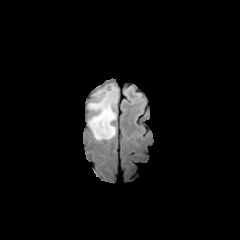
FLAIR MR.
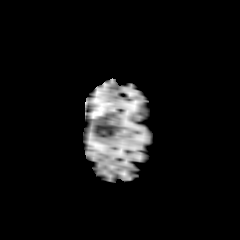
Same slice, T1-weighted MR image.
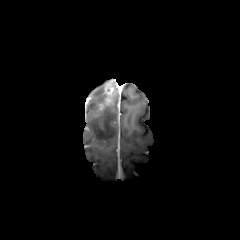
Post-contrast T1-weighted magnetic resonance.
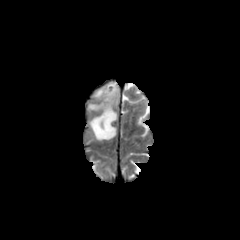
T2-weighted MR.
Brain. Axial view.
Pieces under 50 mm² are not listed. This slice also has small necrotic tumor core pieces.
enhancing tumor at [105, 84, 114, 96]
peritumoral edema at [88, 89, 116, 141]